Axial plane; Slice 80/155
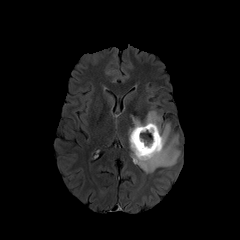
FLAIR MR.
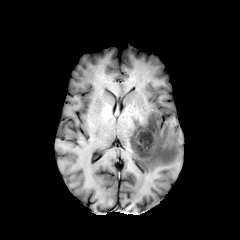
T1-weighted magnetic resonance of the same slice.
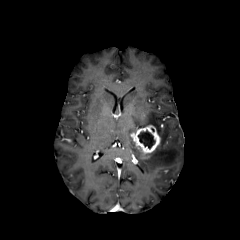
Post-contrast T1-weighted MR.
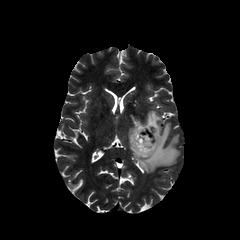
T2-weighted magnetic resonance.
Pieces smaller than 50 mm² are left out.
enhancing_tumor:
  - 131,125,160,158
peritumoral_edema:
  - 128,110,180,173
necrotic_tumor_core:
  - 138,130,155,148